FLAIR magnetic resonance.
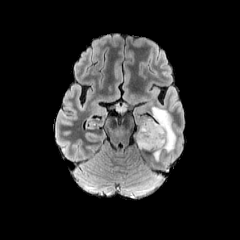
T1-weighted MR.
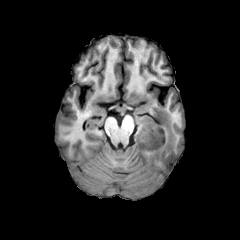
Post-contrast T1-weighted MRI.
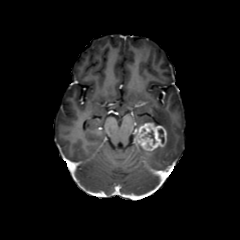
T2-weighted magnetic resonance.
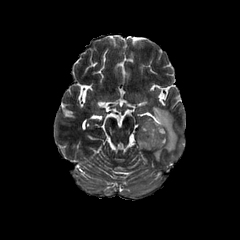
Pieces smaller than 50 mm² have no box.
enhancing tumor at [135, 122, 166, 150]
peritumoral edema at [135, 107, 176, 160]
necrotic tumor core at [158, 129, 164, 143], [145, 130, 155, 143]